FLAIR magnetic resonance.
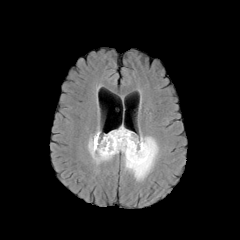
T1-weighted MR.
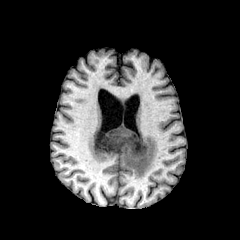
Post-contrast T1-weighted MR.
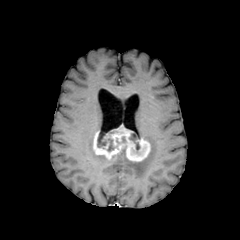
T2-weighted MR.
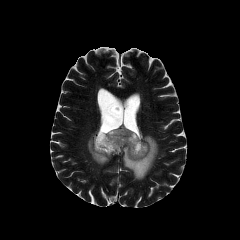
Head | 240x240
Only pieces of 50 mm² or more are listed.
enhancing_tumor:
  - l=93, t=126, r=150, b=161
necrotic_tumor_core:
  - l=129, t=133, r=140, b=150
  - l=107, t=139, r=114, b=151
  - l=97, t=133, r=106, b=149
peritumoral_edema:
  - l=87, t=135, r=109, b=163
  - l=123, t=135, r=158, b=180